Image width 240 mm, 1.00 mm slice spacing; Slice index 120
FLAIR MR.
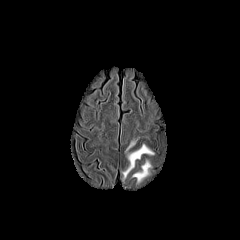
T1-weighted MR.
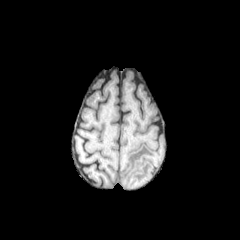
Post-contrast T1-weighted MRI.
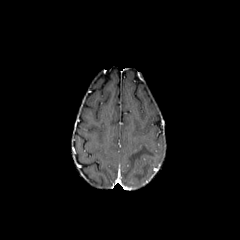
T2-weighted MR.
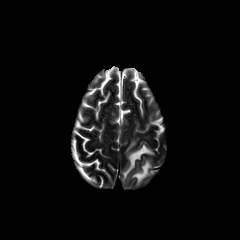
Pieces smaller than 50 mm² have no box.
peritumoral edema: 123 145 153 178, 133 161 151 182